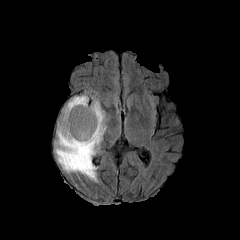
FLAIR magnetic resonance.
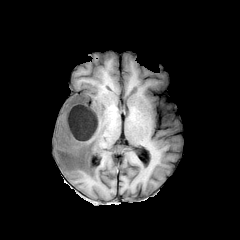
T1-weighted MRI.
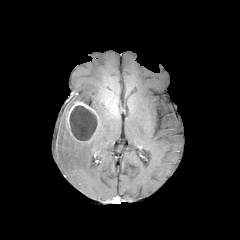
Same slice, post-contrast T1-weighted MR image.
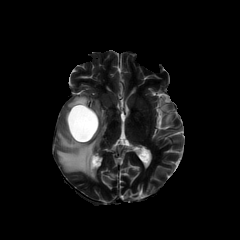
T2-weighted MR.
Head
The enhancing tumor appears at (x1=66, y1=101, x2=99, y2=142). The peritumoral edema is at (x1=55, y1=95, x2=106, y2=181). The necrotic tumor core is located at (x1=69, y1=106, x2=97, y2=141).